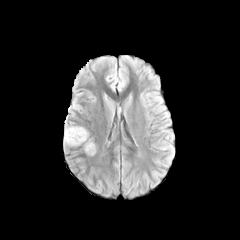
FLAIR magnetic resonance.
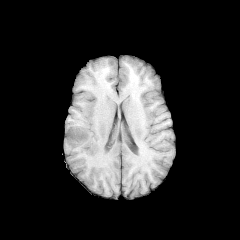
Same slice, T1-weighted MR image.
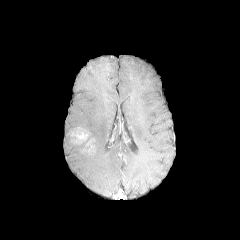
Same slice, post-contrast T1-weighted MRI.
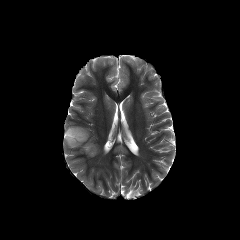
T2-weighted MR.
Image size 240x240
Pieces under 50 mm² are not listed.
The largest enhancing tumor region appears at 68, 128, 88, 143. 2 peritumoral edema regions appear at 85, 142, 95, 154; 65, 127, 87, 145.